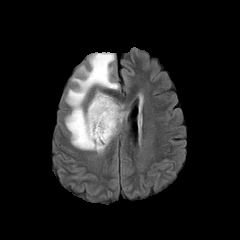
FLAIR MR.
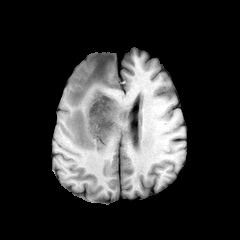
T1-weighted MR image.
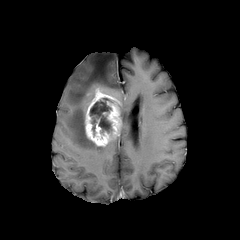
Post-contrast T1-weighted MRI.
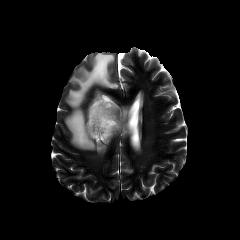
Same slice, T2-weighted MR.
Brain.
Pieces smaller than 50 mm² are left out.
peritumoral edema: 65, 52, 118, 150 | necrotic tumor core: 90, 100, 111, 134 | enhancing tumor: 85, 88, 121, 146